Image size 240x240 | Slice 3 of 155
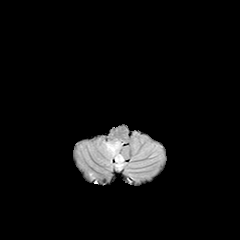
FLAIR MR image.
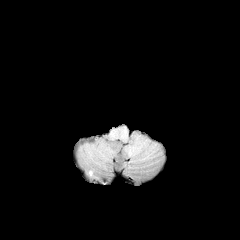
T1-weighted magnetic resonance.
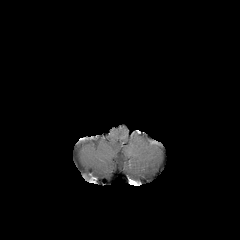
Post-contrast T1-weighted magnetic resonance of the same slice.
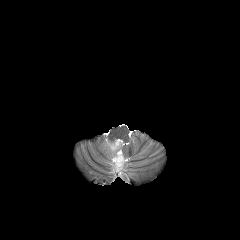
T2-weighted MR image of the same slice.
peritumoral edema: bbox(105, 142, 124, 169)